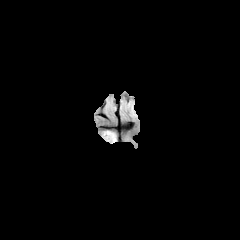
FLAIR MR image.
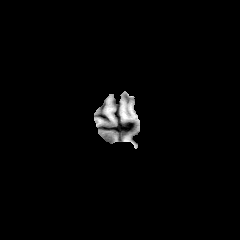
T1-weighted magnetic resonance of the same slice.
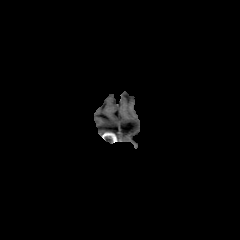
Post-contrast T1-weighted MRI.
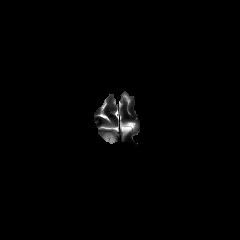
T2-weighted magnetic resonance.
Brain
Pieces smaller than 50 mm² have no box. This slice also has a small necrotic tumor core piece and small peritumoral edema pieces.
enhancing tumor at [102,133,116,142]